FLAIR magnetic resonance.
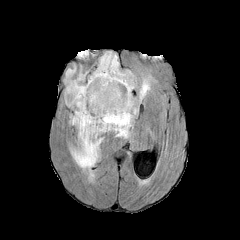
T1-weighted MR.
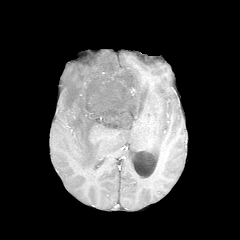
Post-contrast T1-weighted MRI.
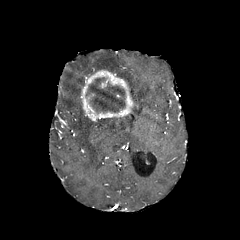
T2-weighted MR.
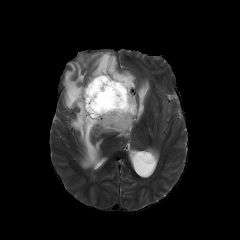
Head
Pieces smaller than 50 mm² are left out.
enhancing tumor = l=80, t=70, r=133, b=121
necrotic tumor core = l=86, t=77, r=124, b=112
peritumoral edema = l=64, t=64, r=149, b=169; l=92, t=51, r=136, b=92